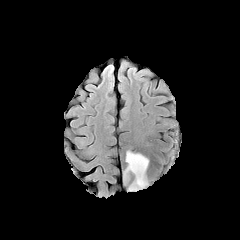
FLAIR magnetic resonance.
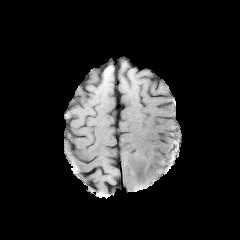
Same slice, T1-weighted MRI.
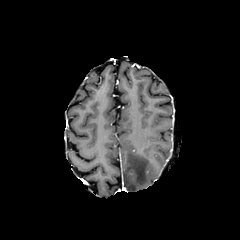
Post-contrast T1-weighted magnetic resonance of the same slice.
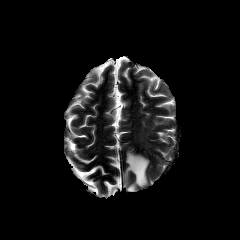
T2-weighted MR of the same slice.
peritumoral_edema:
  - 123:151:148:191